FLAIR MRI.
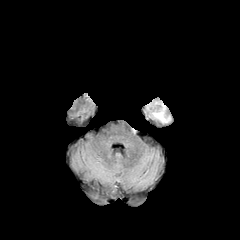
T1-weighted MR.
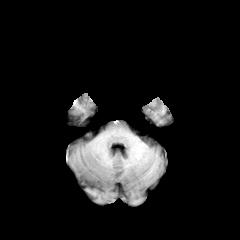
Post-contrast T1-weighted MR.
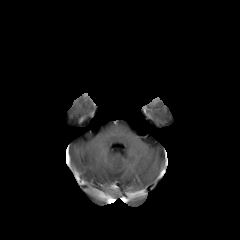
T2-weighted magnetic resonance.
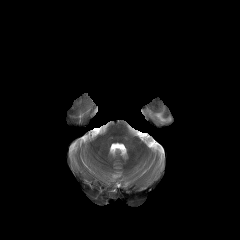
Head
peritumoral edema at 153, 111, 168, 121